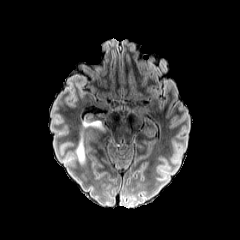
FLAIR MR.
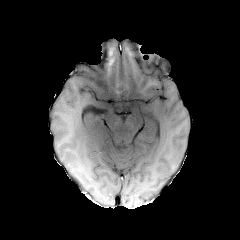
T1-weighted MR image.
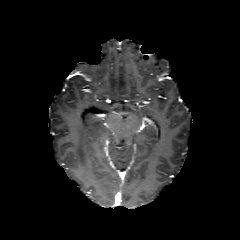
Post-contrast T1-weighted magnetic resonance of the same slice.
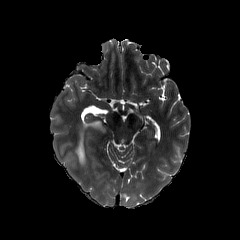
T2-weighted MR image of the same slice.
Axial view. 240x240. Brain.
• peritumoral edema: x1=76 y1=129 x2=85 y2=164, x1=84 y1=121 x2=103 y2=130